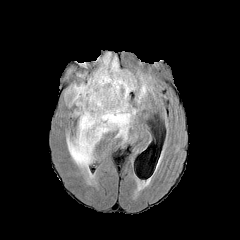
FLAIR MR.
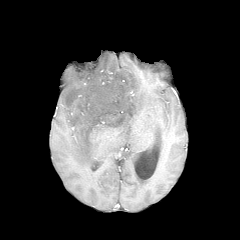
T1-weighted MRI.
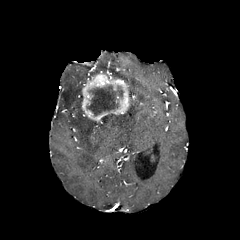
Same slice, post-contrast T1-weighted MR.
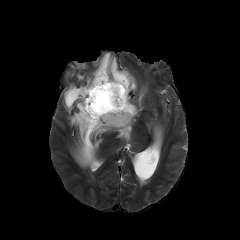
T2-weighted MR image.
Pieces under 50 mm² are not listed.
peritumoral edema: bounding box l=137, t=83, r=147, b=102; l=91, t=52, r=136, b=91; l=64, t=82, r=138, b=169
enhancing tumor: bounding box l=81, t=71, r=130, b=121
necrotic tumor core: bounding box l=87, t=85, r=122, b=115